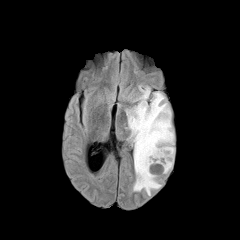
FLAIR MRI.
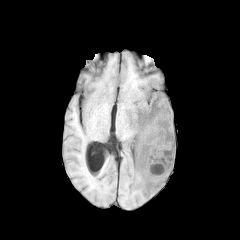
Same slice, T1-weighted MR.
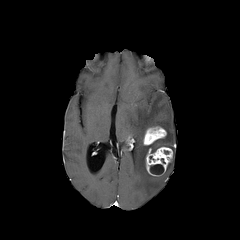
Same slice, post-contrast T1-weighted magnetic resonance.
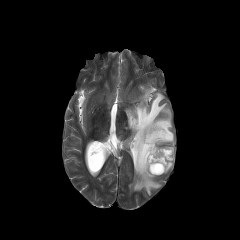
T2-weighted MR of the same slice.
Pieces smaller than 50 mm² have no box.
{
  "peritumoral_edema": [
    "(x1=126, y1=88, x2=174, y2=195)"
  ],
  "necrotic_tumor_core": [
    "(x1=150, y1=164, x2=163, y2=174)"
  ],
  "enhancing_tumor": [
    "(x1=145, y1=147, x2=172, y2=176)",
    "(x1=143, y1=126, x2=166, y2=145)"
  ]
}